Axial plane; Image width 240 mm; 240x240 px; Brain
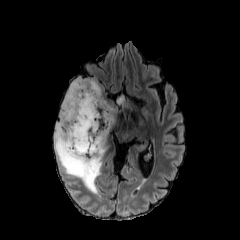
FLAIR MRI.
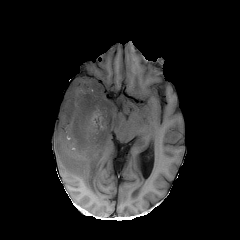
T1-weighted MR image.
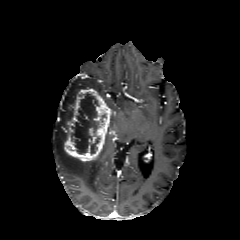
Post-contrast T1-weighted magnetic resonance of the same slice.
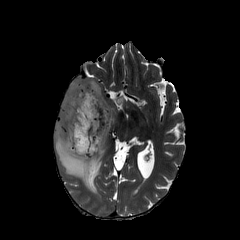
T2-weighted magnetic resonance.
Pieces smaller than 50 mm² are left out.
necrotic tumor core = l=71, t=93, r=98, b=153; l=91, t=137, r=99, b=153
enhancing tumor = l=64, t=88, r=115, b=161
peritumoral edema = l=54, t=79, r=106, b=194; l=117, t=95, r=124, b=104